Brain, Axial view, Slice 82/155
FLAIR MR.
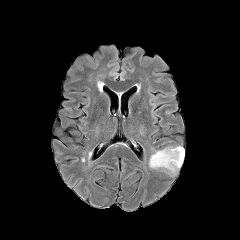
T1-weighted MR image.
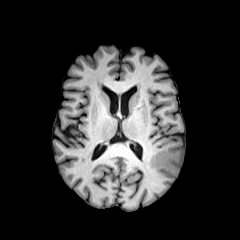
Post-contrast T1-weighted MR.
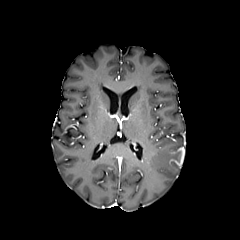
T2-weighted MR.
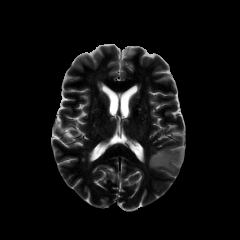
The enhancing tumor is bounded by <box>169,147,184,167</box>. The peritumoral edema is at <box>149,146,181,176</box>.